Slice index 56. Image covers 240 mm x 240 mm.
FLAIR MRI.
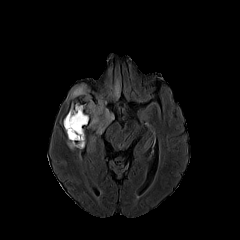
T1-weighted MRI.
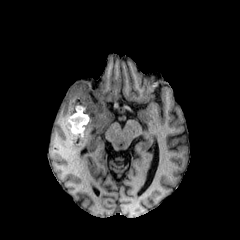
Post-contrast T1-weighted MRI.
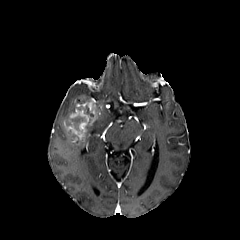
T2-weighted MR.
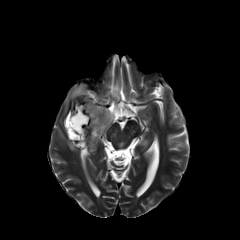
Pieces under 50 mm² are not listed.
The 2 largest necrotic tumor core regions are bounded by (x1=74, y1=98, x2=84, y2=107), (x1=71, y1=116, x2=85, y2=130). The 4 largest peritumoral edema regions are located at (x1=64, y1=127, x2=85, y2=150), (x1=109, y1=79, x2=120, y2=98), (x1=87, y1=99, x2=114, y2=133), (x1=66, y1=84, x2=89, y2=102). The largest enhancing tumor region lies within (x1=64, y1=95, x2=103, y2=144).